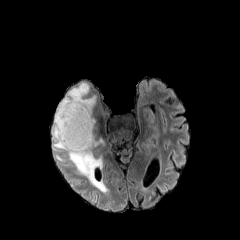
FLAIR magnetic resonance.
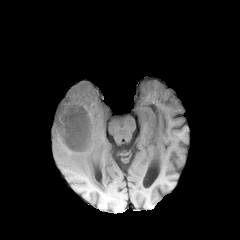
T1-weighted MR image of the same slice.
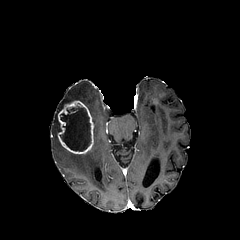
Post-contrast T1-weighted MRI.
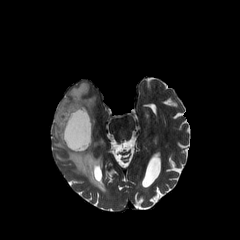
T2-weighted MRI of the same slice.
Brain
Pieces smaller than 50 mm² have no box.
The necrotic tumor core lies within l=60, t=107, r=90, b=151. The largest enhancing tumor region is located at l=57, t=100, r=93, b=154. The peritumoral edema lies within l=52, t=82, r=107, b=192.